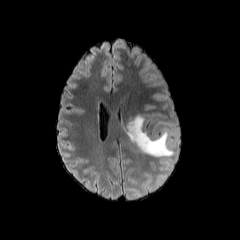
FLAIR MRI.
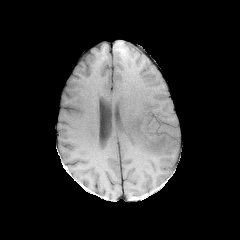
T1-weighted MR.
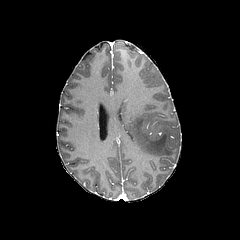
Same slice, post-contrast T1-weighted magnetic resonance.
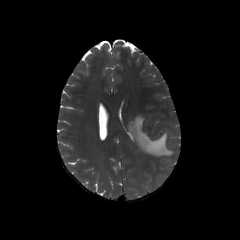
Same slice, T2-weighted MR image.
Axial slice
Segmented structures:
• peritumoral edema: 126:115:173:157